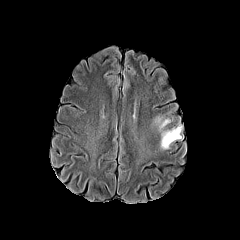
FLAIR MR image.
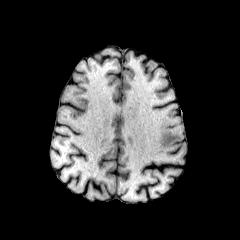
T1-weighted MRI.
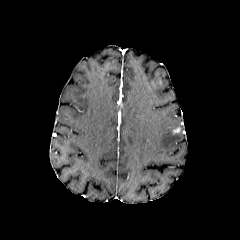
Post-contrast T1-weighted MR.
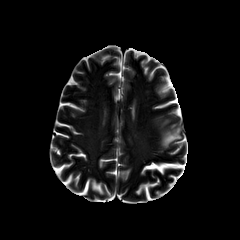
T2-weighted MRI of the same slice.
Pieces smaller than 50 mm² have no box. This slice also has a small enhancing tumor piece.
Findings:
* peritumoral edema: bbox=[154, 116, 181, 149]